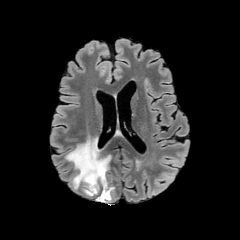
FLAIR MR image.
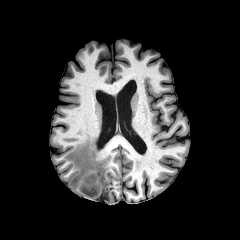
T1-weighted MR image of the same slice.
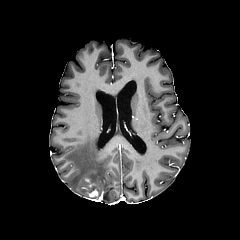
Same slice, post-contrast T1-weighted magnetic resonance.
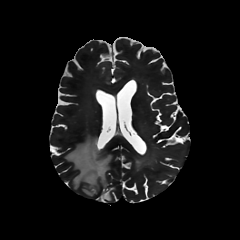
T2-weighted MRI.
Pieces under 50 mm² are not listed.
The largest enhancing tumor region is located at l=88, t=189, r=103, b=201. The peritumoral edema is located at l=65, t=136, r=114, b=199.